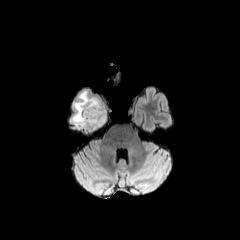
FLAIR magnetic resonance.
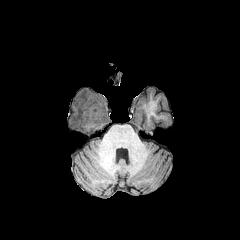
T1-weighted MR image.
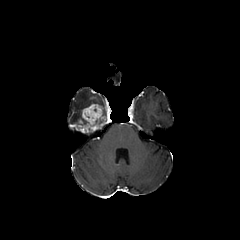
Post-contrast T1-weighted magnetic resonance.
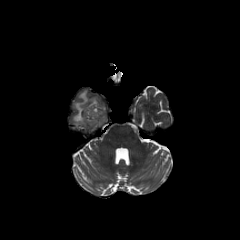
T2-weighted MRI.
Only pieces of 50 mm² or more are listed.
Annotated regions:
- peritumoral edema: box=[70, 90, 106, 129]
- necrotic tumor core: box=[95, 116, 103, 124]
- enhancing tumor: box=[72, 103, 105, 136]